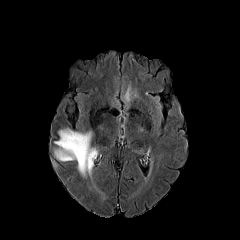
FLAIR MR image.
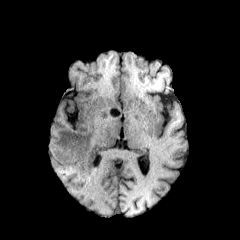
T1-weighted MR.
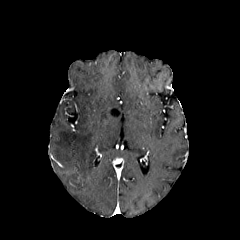
Post-contrast T1-weighted MRI.
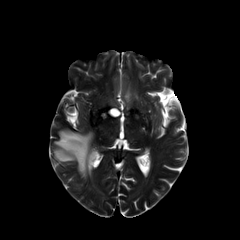
Same slice, T2-weighted magnetic resonance.
Brain. Axial view.
<segmentation>
  <peritumoral_edema><box>54,129,95,176</box></peritumoral_edema>
</segmentation>